Axial plane; Slice 54/155
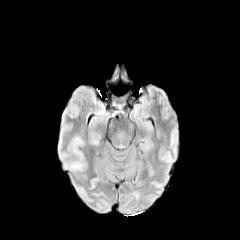
FLAIR MR image.
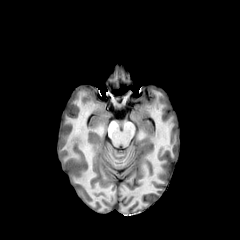
T1-weighted MR of the same slice.
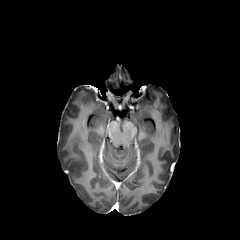
Post-contrast T1-weighted MRI of the same slice.
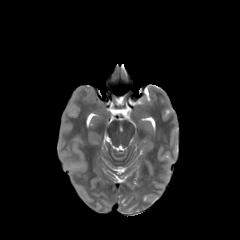
T2-weighted MRI.
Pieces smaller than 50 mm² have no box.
- peritumoral edema: rect(69, 163, 81, 170)